Axial view
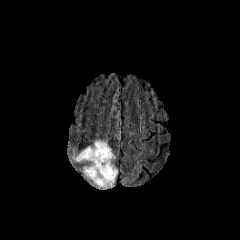
FLAIR MR.
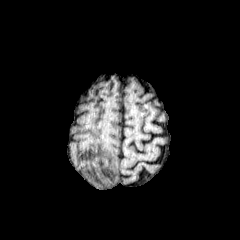
T1-weighted MR.
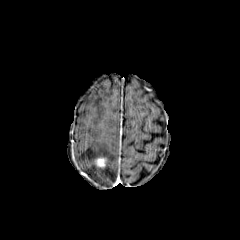
Post-contrast T1-weighted MR of the same slice.
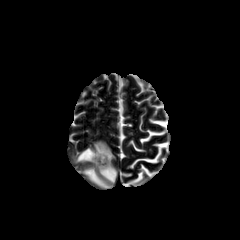
T2-weighted MR image of the same slice.
The peritumoral edema is at x1=75 y1=140 x2=117 y2=187. The enhancing tumor is located at x1=94 y1=157 x2=106 y2=168.